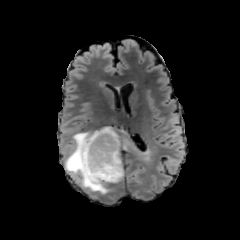
FLAIR MR.
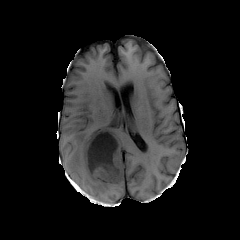
T1-weighted MR image of the same slice.
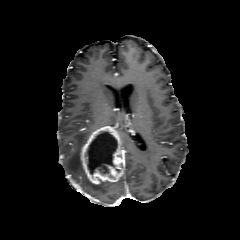
Same slice, post-contrast T1-weighted magnetic resonance.
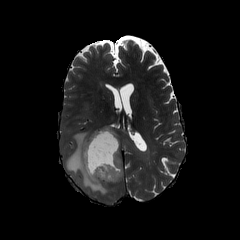
T2-weighted magnetic resonance.
Head; Axial slice; 240x240 px
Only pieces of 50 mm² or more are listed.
• necrotic tumor core: <bbox>87, 132, 117, 174</bbox>
• peritumoral edema: <bbox>65, 132, 117, 194</bbox>
• enhancing tumor: <bbox>81, 126, 123, 184</bbox>